Slice 106/155; Axial slice
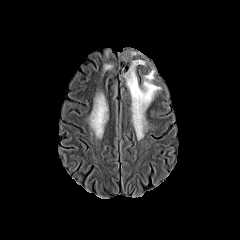
FLAIR MR.
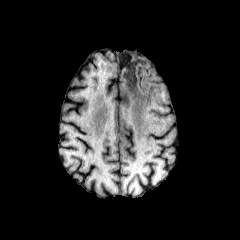
T1-weighted MR.
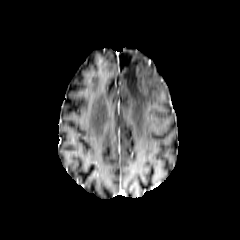
Post-contrast T1-weighted magnetic resonance.
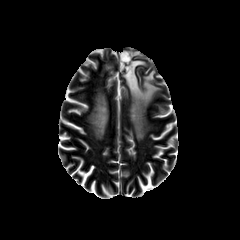
T2-weighted MR.
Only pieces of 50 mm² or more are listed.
peritumoral edema: l=121, t=52, r=160, b=139; l=89, t=95, r=107, b=131